FLAIR MR image.
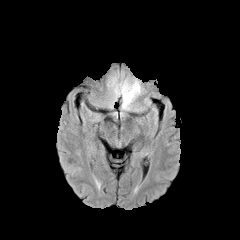
T1-weighted MR.
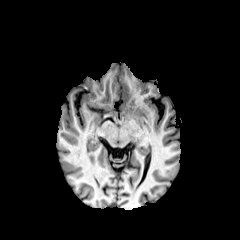
Post-contrast T1-weighted MR image.
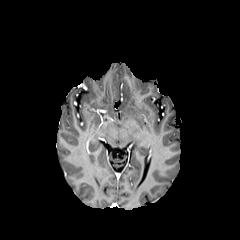
T2-weighted MRI.
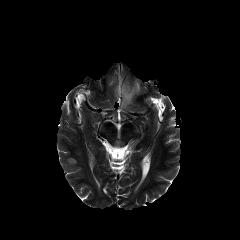
240x240. Head.
Findings:
• peritumoral edema: <box>110,78,140,109</box>